Head. Slice index 93. Axial slice.
FLAIR MR image.
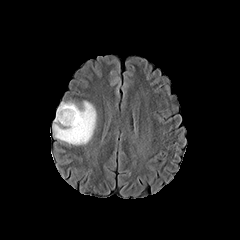
T1-weighted MRI.
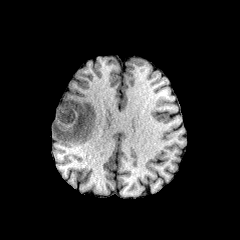
Post-contrast T1-weighted magnetic resonance.
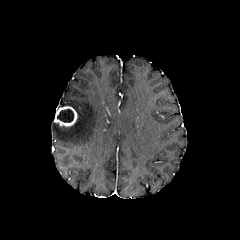
T2-weighted magnetic resonance.
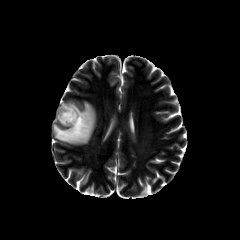
{
  "enhancing_tumor": [
    "<box>54,105,77,126</box>"
  ],
  "necrotic_tumor_core": [
    "<box>57,109,73,122</box>"
  ],
  "peritumoral_edema": [
    "<box>52,101,96,145</box>"
  ]
}